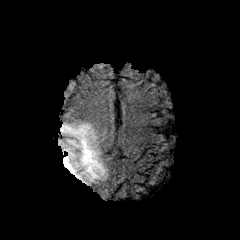
FLAIR magnetic resonance.
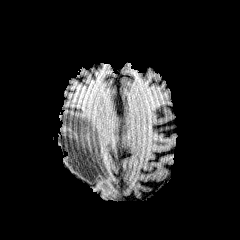
T1-weighted MR image of the same slice.
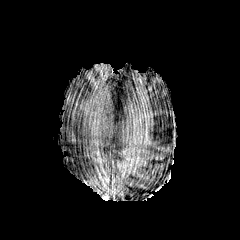
Post-contrast T1-weighted MRI of the same slice.
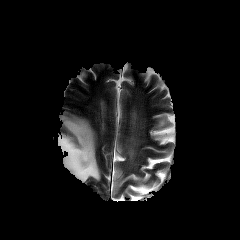
T2-weighted MR.
Head.
peritumoral edema: region(58, 113, 107, 182)